FLAIR MR image.
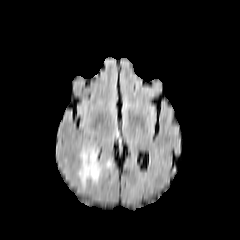
T1-weighted magnetic resonance.
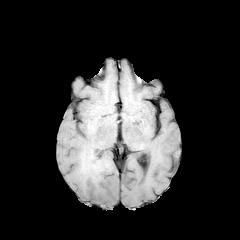
Post-contrast T1-weighted MR.
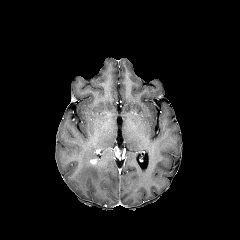
T2-weighted magnetic resonance.
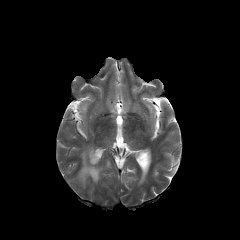
Head; Axial view
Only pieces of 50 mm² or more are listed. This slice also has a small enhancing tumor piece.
peritumoral edema: [79, 147, 117, 186]